FLAIR MR image.
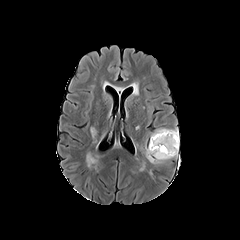
T1-weighted magnetic resonance.
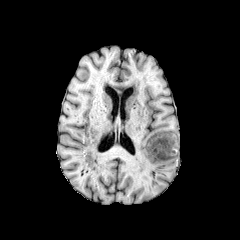
Post-contrast T1-weighted MRI.
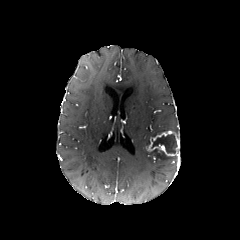
T2-weighted MRI.
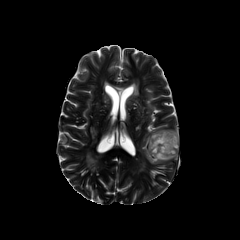
Axial view
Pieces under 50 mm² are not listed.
The 2 largest peritumoral edema regions appear at l=151, t=127, r=178, b=136; l=145, t=149, r=173, b=163. The 2 largest necrotic tumor core regions are bounded by l=151, t=134, r=176, b=153; l=151, t=149, r=164, b=156. The enhancing tumor lies within l=146, t=130, r=179, b=158.